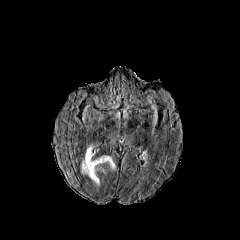
FLAIR MR.
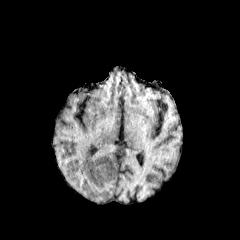
T1-weighted MRI.
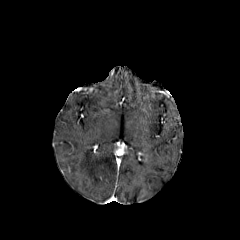
Post-contrast T1-weighted MR image of the same slice.
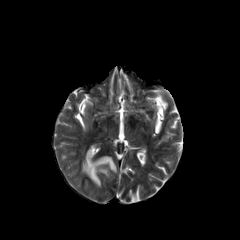
T2-weighted MR.
peritumoral edema — x1=81, y1=148, x2=115, y2=185